FLAIR MR image.
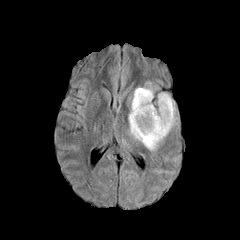
T1-weighted MR image.
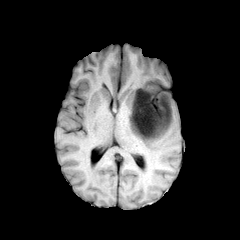
Post-contrast T1-weighted MR image.
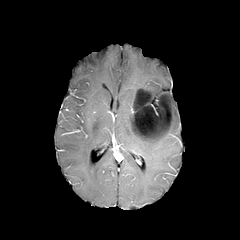
T2-weighted magnetic resonance.
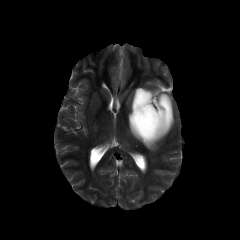
Axial plane | 240x240 px
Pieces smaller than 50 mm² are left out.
necrotic tumor core: (left=133, top=91, right=170, bottom=137)
peritumoral edema: (left=128, top=87, right=175, bottom=150)
enhancing tumor: (left=135, top=90, right=151, bottom=102), (left=132, top=102, right=159, bottom=138)